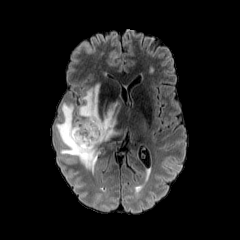
FLAIR magnetic resonance.
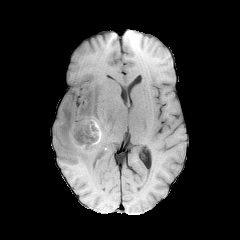
T1-weighted MRI of the same slice.
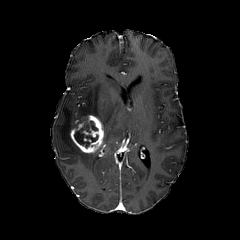
Post-contrast T1-weighted MRI.
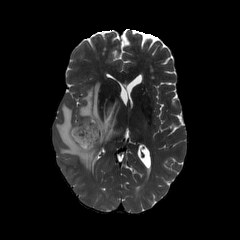
Same slice, T2-weighted MR image.
Axial view, Head
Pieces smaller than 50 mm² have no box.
Findings:
* necrotic tumor core: l=74, t=119, r=98, b=147
* enhancing tumor: l=70, t=115, r=104, b=153
* peritumoral edema: l=78, t=81, r=128, b=143; l=55, t=103, r=101, b=174